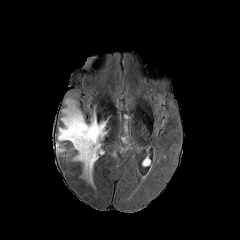
FLAIR MRI.
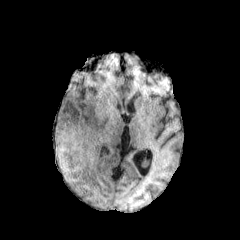
T1-weighted MR image of the same slice.
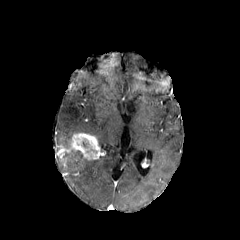
Same slice, post-contrast T1-weighted MR image.
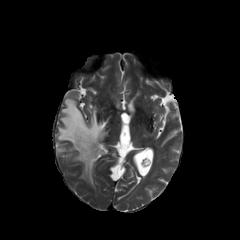
T2-weighted magnetic resonance.
Brain; Axial plane
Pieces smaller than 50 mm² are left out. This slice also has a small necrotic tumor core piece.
peritumoral edema: (73,151,96,184), (58,98,107,146) | enhancing tumor: (57,133,101,161)